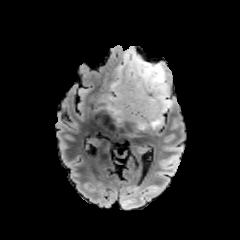
FLAIR MR.
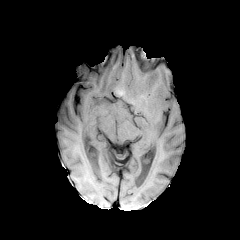
T1-weighted MRI.
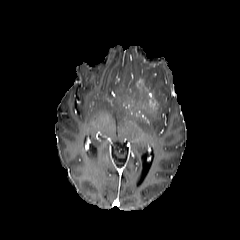
Post-contrast T1-weighted MRI of the same slice.
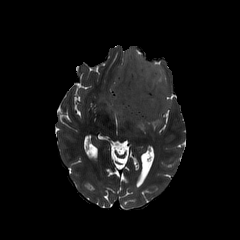
T2-weighted magnetic resonance.
Brain
enhancing tumor: left=136, top=78, right=159, bottom=109
peritumoral edema: left=109, top=46, right=172, bottom=129